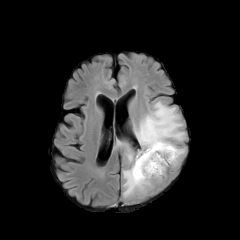
FLAIR MRI.
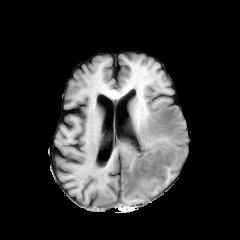
T1-weighted MRI.
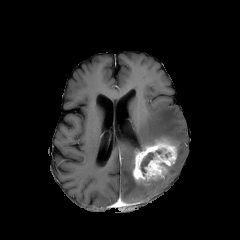
Same slice, post-contrast T1-weighted MR image.
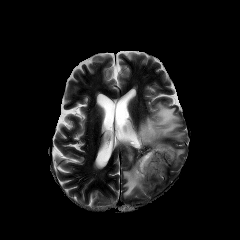
T2-weighted MR image.
Axial view; 240x240 px; Head
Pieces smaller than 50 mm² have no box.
{
  "peritumoral_edema": [
    "x1=118 y1=141 x2=156 y2=197",
    "x1=172 y1=146 x2=185 y2=165",
    "x1=134 y1=102 x2=185 y2=149"
  ],
  "enhancing_tumor": [
    "x1=132 y1=138 x2=177 y2=184"
  ],
  "necrotic_tumor_core": [
    "x1=141 y1=153 x2=153 y2=172"
  ]
}